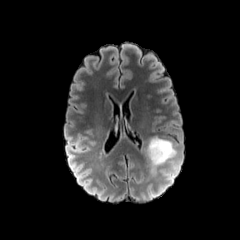
FLAIR MR.
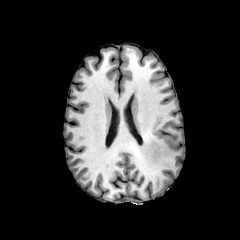
T1-weighted MR.
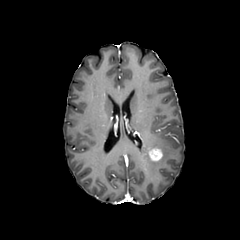
Post-contrast T1-weighted MR.
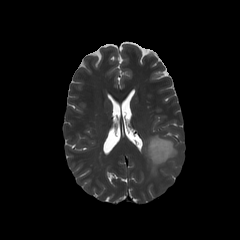
T2-weighted MR image.
enhancing tumor = l=148, t=148, r=162, b=161
peritumoral edema = l=147, t=135, r=176, b=170